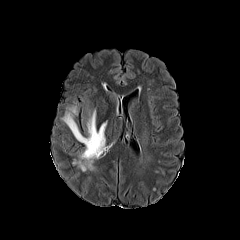
FLAIR MR.
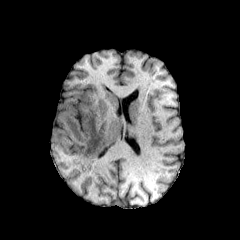
T1-weighted MR.
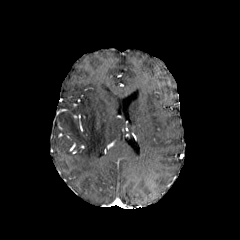
Post-contrast T1-weighted magnetic resonance.
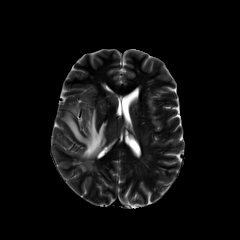
T2-weighted MR.
Axial view. 240x240 px.
Findings:
• peritumoral edema: <box>62,107,106,171</box>